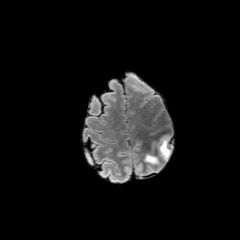
FLAIR MR image.
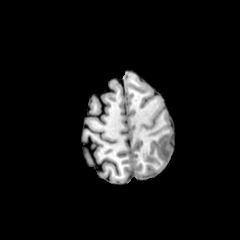
T1-weighted MR.
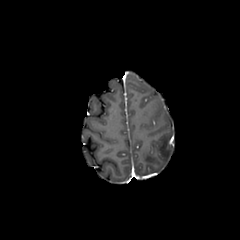
Post-contrast T1-weighted magnetic resonance.
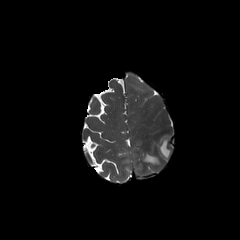
T2-weighted MRI.
Axial slice
<segmentation>
  <peritumoral_edema>(144, 154, 158, 163), (158, 136, 171, 160)</peritumoral_edema>
</segmentation>